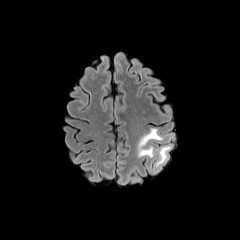
FLAIR MR image.
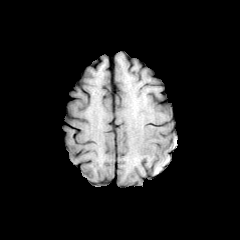
T1-weighted MR of the same slice.
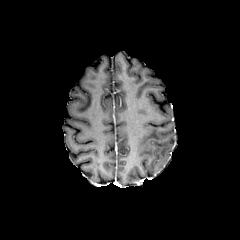
Post-contrast T1-weighted MR image of the same slice.
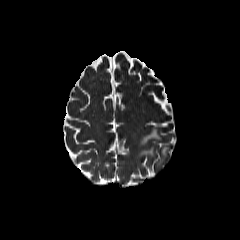
T2-weighted MR of the same slice.
Head
peritumoral edema — (137,128,162,157), (156,145,170,166)